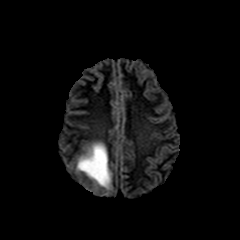
FLAIR MR image.
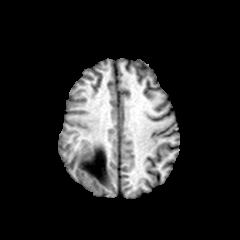
T1-weighted MR image of the same slice.
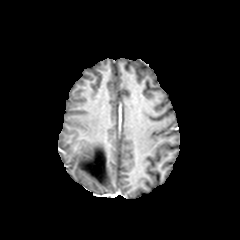
Same slice, post-contrast T1-weighted MR.
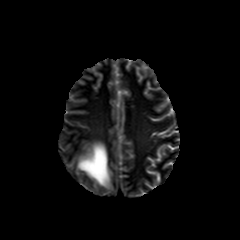
T2-weighted MR image.
Head, Axial slice
<segmentation>
  <peritumoral_edema>bbox(76, 142, 111, 189)</peritumoral_edema>
</segmentation>